240x240 | Axial view | Head | Slice 112/155
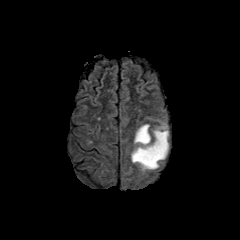
FLAIR MRI.
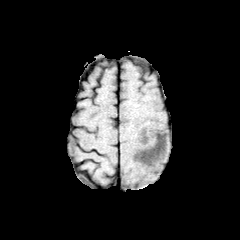
T1-weighted MRI of the same slice.
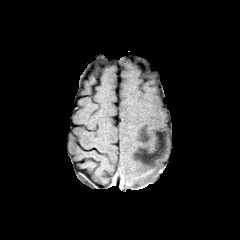
Same slice, post-contrast T1-weighted magnetic resonance.
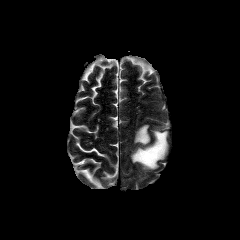
T2-weighted MRI.
peritumoral edema at 131:124:168:170